Head
FLAIR MRI.
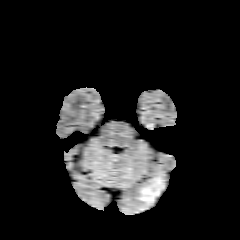
T1-weighted MR.
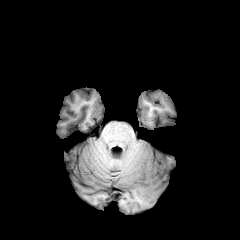
Post-contrast T1-weighted MR image.
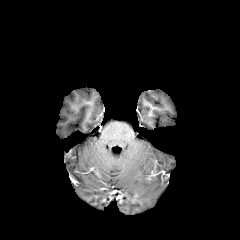
T2-weighted MRI.
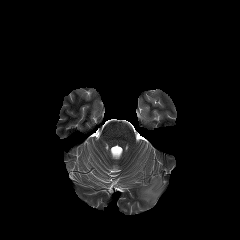
peritumoral_edema:
  - region(139, 176, 164, 205)